FLAIR MR image.
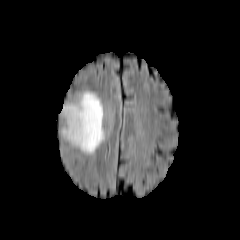
T1-weighted MR image.
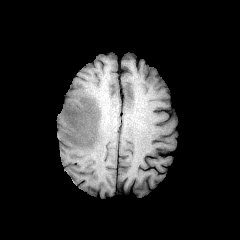
Post-contrast T1-weighted MRI.
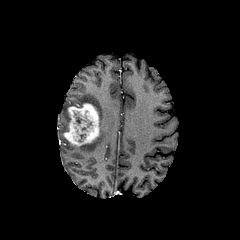
T2-weighted MR image.
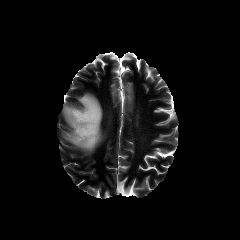
240x240 px; Axial slice
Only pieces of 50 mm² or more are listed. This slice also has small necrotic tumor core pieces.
{"peritumoral_edema": ["(left=61, top=103, right=75, bottom=135)", "(left=72, top=92, right=105, bottom=153)"], "enhancing_tumor": ["(left=63, top=103, right=99, bottom=146)"]}